FLAIR magnetic resonance.
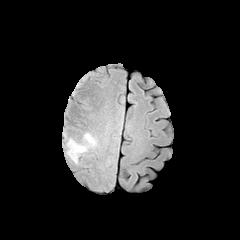
T1-weighted MR.
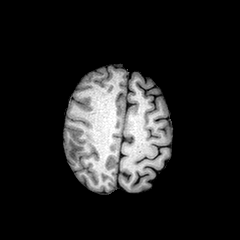
Post-contrast T1-weighted magnetic resonance.
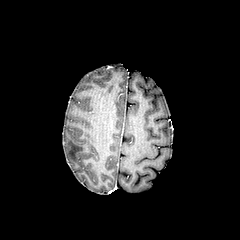
T2-weighted MRI.
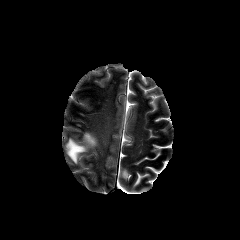
<segmentation>
  <peritumoral_edema>bbox(67, 133, 96, 162)</peritumoral_edema>
</segmentation>